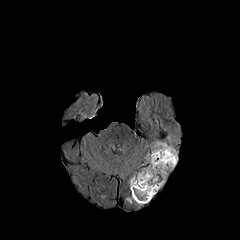
FLAIR MR.
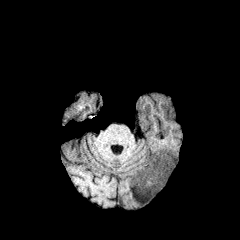
T1-weighted MRI.
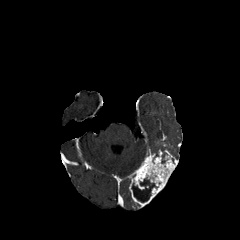
Same slice, post-contrast T1-weighted MR.
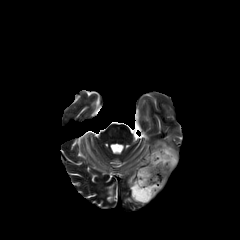
T2-weighted MR of the same slice.
Head. Image size 240x240. Axial slice.
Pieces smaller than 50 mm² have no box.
The largest enhancing tumor region lies within region(129, 148, 178, 207). The largest peritumoral edema region is bounded by region(151, 135, 177, 157). The largest necrotic tumor core region appears at region(131, 179, 157, 202).